FLAIR magnetic resonance.
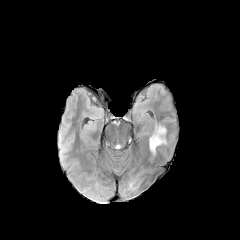
T1-weighted magnetic resonance.
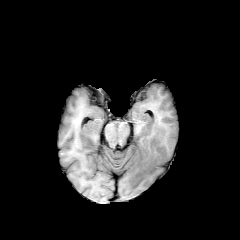
Post-contrast T1-weighted MR image.
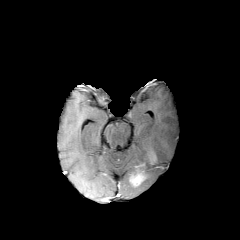
T2-weighted MRI.
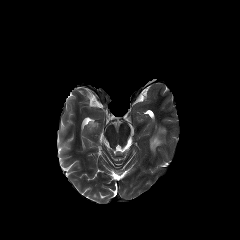
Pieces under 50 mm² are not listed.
peritumoral edema: 149:126:165:153
enhancing tumor: 132:175:142:184